FLAIR MR image.
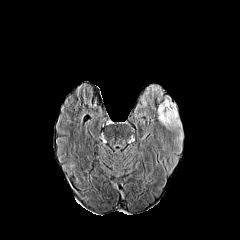
T1-weighted MR image.
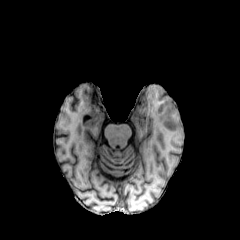
Post-contrast T1-weighted MR image.
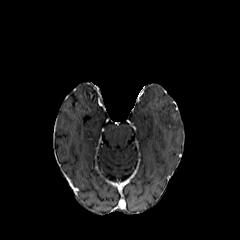
T2-weighted magnetic resonance.
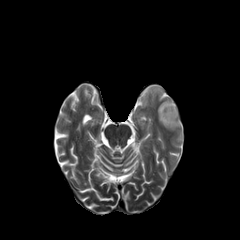
Axial slice. 240x240.
peritumoral edema — x1=158, y1=96, x2=183, y2=140